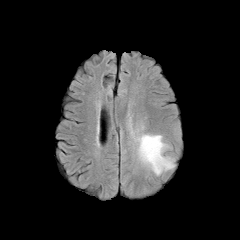
FLAIR MRI.
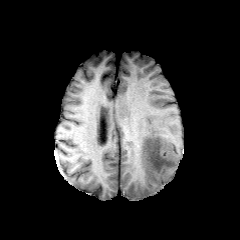
T1-weighted magnetic resonance.
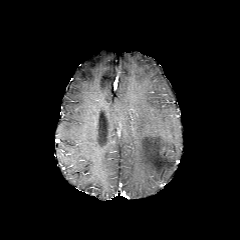
Post-contrast T1-weighted MRI of the same slice.
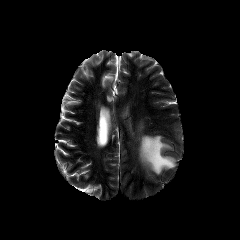
T2-weighted MR image.
240x240.
peritumoral edema = rect(138, 134, 174, 175)